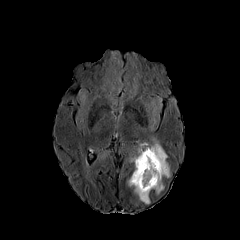
FLAIR magnetic resonance.
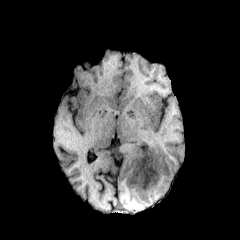
Same slice, T1-weighted MR.
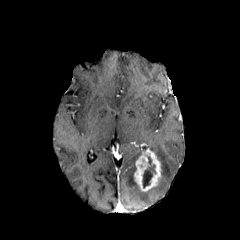
Post-contrast T1-weighted MRI.
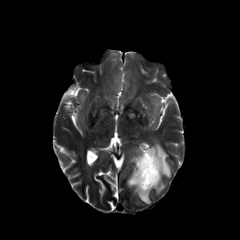
Same slice, T2-weighted MR image.
Axial plane
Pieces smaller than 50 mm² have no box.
necrotic tumor core: bbox(143, 165, 154, 187)
enhancing tumor: bbox(134, 148, 161, 191)
peritumoral edema: bbox(99, 149, 109, 160); bbox(148, 136, 170, 177); bbox(152, 178, 164, 194); bbox(104, 62, 138, 104); bbox(146, 97, 161, 131); bbox(164, 99, 178, 118); bbox(127, 173, 150, 203); bbox(120, 147, 142, 162)